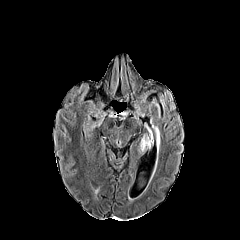
FLAIR MR image.
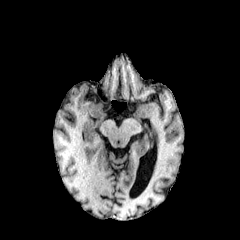
T1-weighted MR.
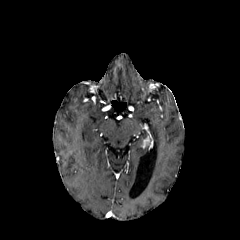
Same slice, post-contrast T1-weighted MR.
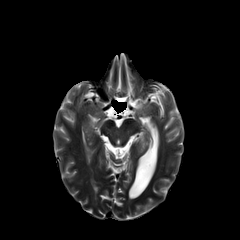
Same slice, T2-weighted magnetic resonance.
240x240 px | Axial slice
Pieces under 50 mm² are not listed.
Findings:
• enhancing tumor: <bbox>141, 137, 150, 148</bbox>
• peritumoral edema: <bbox>152, 126, 159, 149</bbox>